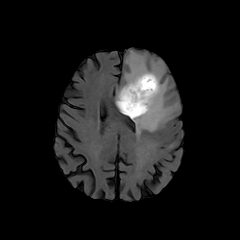
FLAIR MR image.
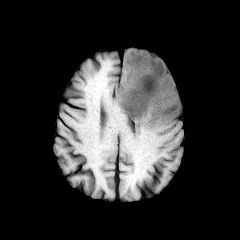
T1-weighted magnetic resonance.
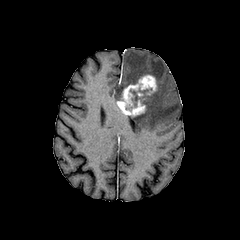
Post-contrast T1-weighted MR.
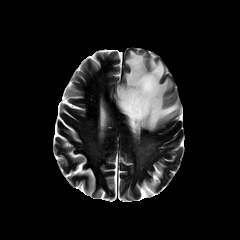
T2-weighted MR image.
Brain
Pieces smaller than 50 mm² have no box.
The largest necrotic tumor core region appears at box=[132, 91, 145, 106]. The largest peritumoral edema region is located at box=[116, 50, 180, 135]. The enhancing tumor is bounded by box=[117, 74, 157, 116].